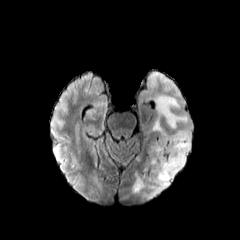
FLAIR MR.
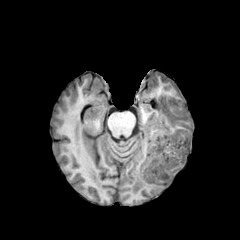
Same slice, T1-weighted MR.
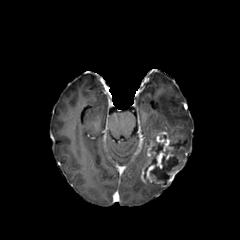
Same slice, post-contrast T1-weighted magnetic resonance.
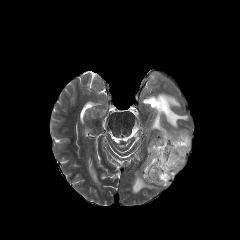
T2-weighted MRI.
Axial view
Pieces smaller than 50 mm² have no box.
The 2 largest enhancing tumor regions are bounded by 156,151,164,169; 140,131,188,187. The largest necrotic tumor core region is located at 144,138,185,184. The 2 largest peritumoral edema regions are bounded by 132,172,166,193; 151,95,190,151.